Axial view, Slice index 53
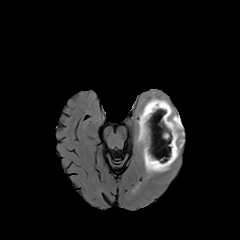
FLAIR magnetic resonance.
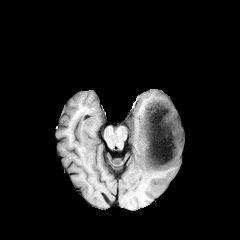
T1-weighted magnetic resonance of the same slice.
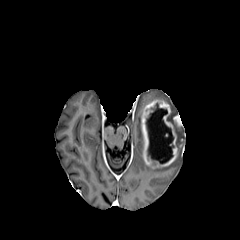
Post-contrast T1-weighted MRI.
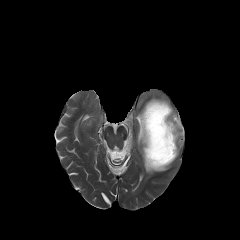
T2-weighted MR image.
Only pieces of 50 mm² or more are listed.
- enhancing tumor: (141, 100, 182, 168)
- peritumoral edema: (144, 97, 169, 106), (136, 109, 170, 173), (177, 126, 184, 153)
- necrotic tumor core: (146, 103, 173, 163)